Head | Axial slice
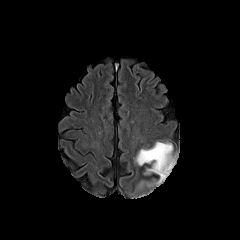
FLAIR magnetic resonance.
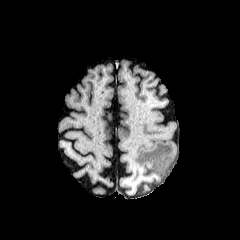
T1-weighted MR image of the same slice.
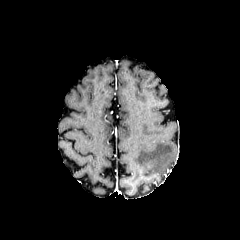
Post-contrast T1-weighted MRI.
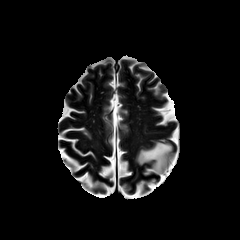
T2-weighted MRI of the same slice.
peritumoral edema = left=135, top=141, right=176, bottom=184